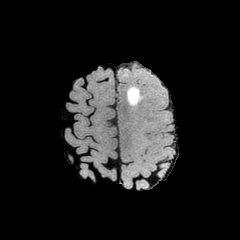
FLAIR MR image.
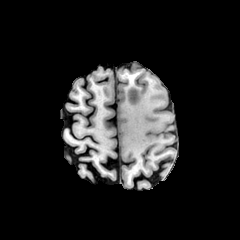
T1-weighted magnetic resonance.
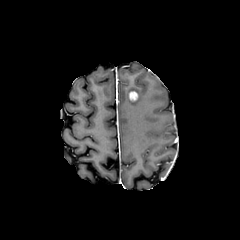
Post-contrast T1-weighted magnetic resonance of the same slice.
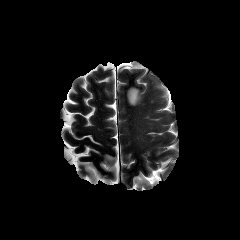
T2-weighted magnetic resonance.
Axial slice. Head.
peritumoral edema: bbox=[127, 87, 142, 105] | enhancing tumor: bbox=[129, 91, 137, 100]